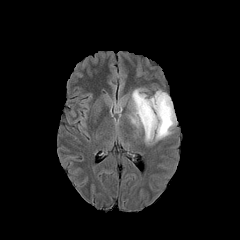
FLAIR MRI.
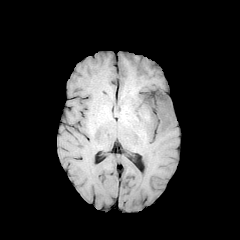
Same slice, T1-weighted MR image.
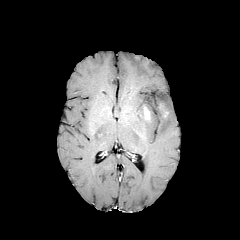
Post-contrast T1-weighted magnetic resonance of the same slice.
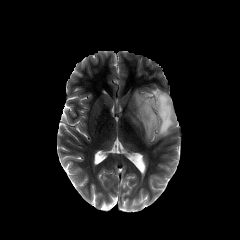
T2-weighted MRI.
Axial view, Head
<segmentation>
  <peritumoral_edema>bbox=[130, 89, 176, 142]</peritumoral_edema>
  <enhancing_tumor>bbox=[159, 103, 168, 117]; bbox=[144, 106, 150, 120]</enhancing_tumor>
</segmentation>